FLAIR MR.
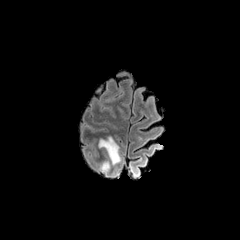
T1-weighted magnetic resonance.
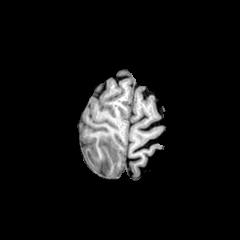
Post-contrast T1-weighted MR.
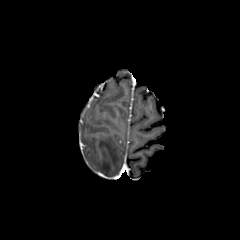
T2-weighted magnetic resonance.
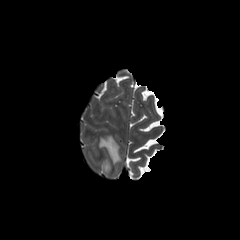
Axial view, Brain
peritumoral edema at 98, 136, 121, 175